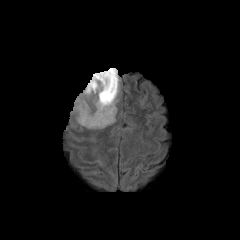
FLAIR MR image.
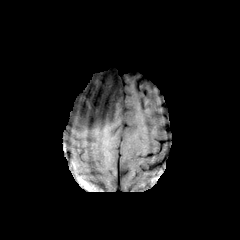
T1-weighted magnetic resonance of the same slice.
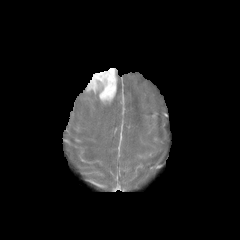
Post-contrast T1-weighted MR.
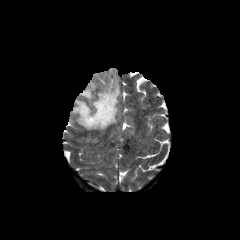
Same slice, T2-weighted MR.
Axial plane. Brain. 240x240 px.
<segmentation>
  <enhancing_tumor>86:68:117:103</enhancing_tumor>
  <peritumoral_edema>71:70:119:129</peritumoral_edema>
</segmentation>